FLAIR MR.
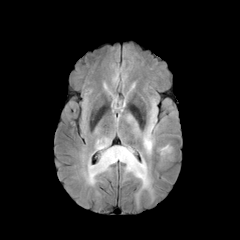
T1-weighted magnetic resonance.
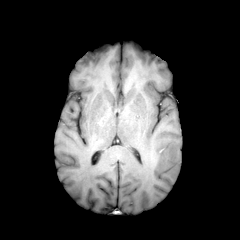
Post-contrast T1-weighted MR image.
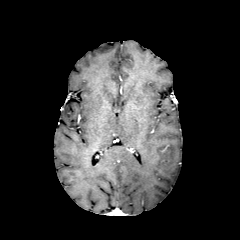
T2-weighted MRI.
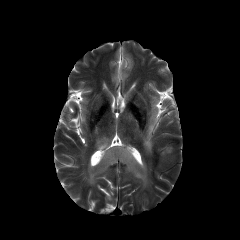
Brain. Axial view.
<segmentation>
  <peritumoral_edema>(x1=143, y1=109, x2=155, y2=154), (x1=86, y1=138, x2=151, y2=191), (x1=159, y1=144, x2=172, y2=157)</peritumoral_edema>
</segmentation>